FLAIR MRI.
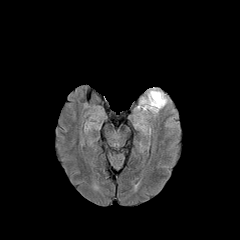
T1-weighted MR.
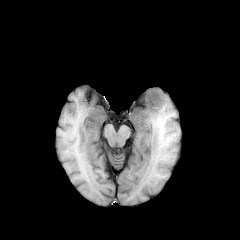
Post-contrast T1-weighted magnetic resonance.
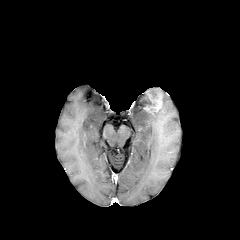
T2-weighted MR image.
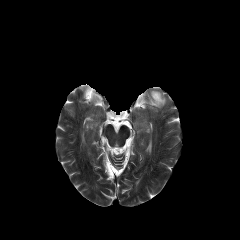
Axial slice. Image size 240x240.
Segmented structures:
• enhancing tumor: [144,92,162,110]
• peritumoral edema: [137,95,157,112], [147,88,167,108]